FLAIR magnetic resonance.
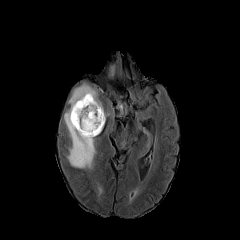
T1-weighted MRI.
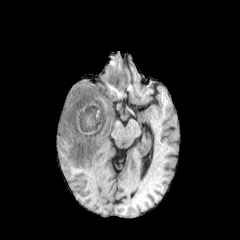
Post-contrast T1-weighted MR image.
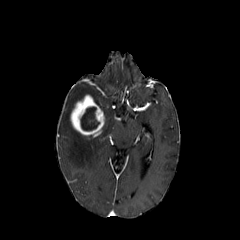
T2-weighted MR.
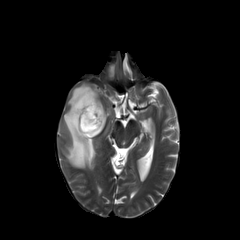
Axial view; 240x240 px
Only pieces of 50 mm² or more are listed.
peritumoral_edema:
  - x1=63 y1=83 x2=108 y2=168
necrotic_tumor_core:
  - x1=80 y1=107 x2=100 y2=130
enhancing_tumor:
  - x1=70 y1=94 x2=105 y2=137